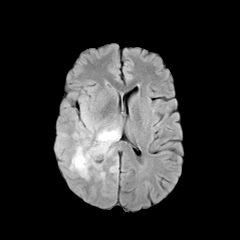
FLAIR MRI.
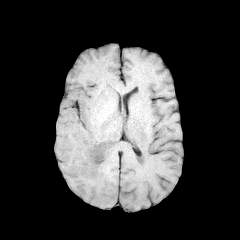
T1-weighted MRI of the same slice.
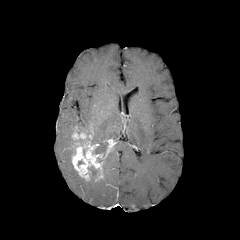
Post-contrast T1-weighted MR image of the same slice.
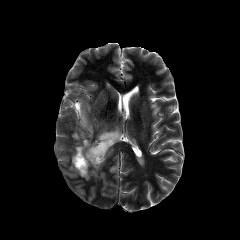
T2-weighted magnetic resonance of the same slice.
240x240 px
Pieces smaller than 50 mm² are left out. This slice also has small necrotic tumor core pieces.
The 5 largest peritumoral edema regions appear at <bbox>110, 161, 118, 172</bbox>, <bbox>75, 104, 99, 138</bbox>, <bbox>94, 142, 107, 155</bbox>, <bbox>69, 151, 78, 174</bbox>, <bbox>92, 124, 120, 143</bbox>. The enhancing tumor is bounded by <bbox>72, 131, 116, 180</bbox>.